Slice 81/155. 240x240.
FLAIR MR image.
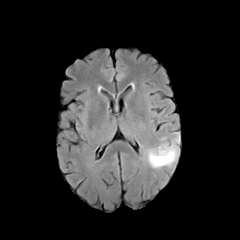
T1-weighted MR image.
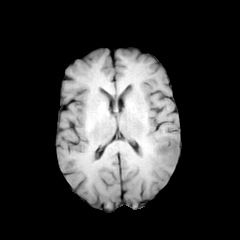
Post-contrast T1-weighted MR.
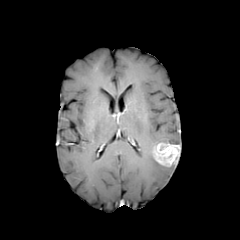
T2-weighted MR image.
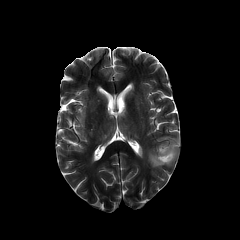
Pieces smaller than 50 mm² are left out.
<segmentation>
  <peritumoral_edema>region(170, 133, 179, 144); region(147, 147, 163, 168)</peritumoral_edema>
  <enhancing_tumor>region(153, 143, 179, 166)</enhancing_tumor>
</segmentation>